FLAIR MR image.
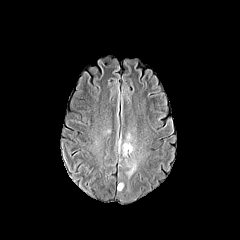
T1-weighted magnetic resonance.
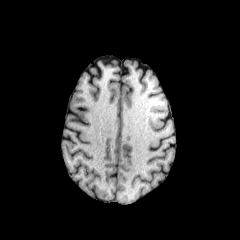
Post-contrast T1-weighted magnetic resonance.
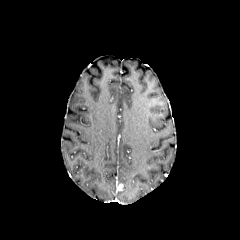
T2-weighted MR image.
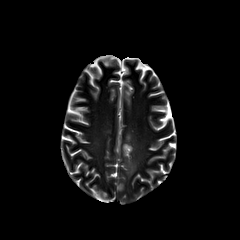
Axial slice
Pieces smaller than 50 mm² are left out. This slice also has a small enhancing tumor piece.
The 2 largest peritumoral edema regions are located at rect(125, 158, 137, 177); rect(122, 132, 134, 156).